FLAIR MR image.
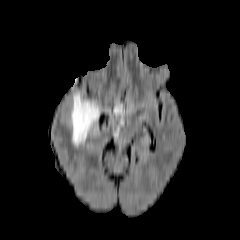
T1-weighted MR.
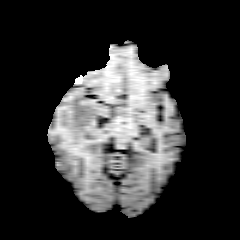
Post-contrast T1-weighted MRI.
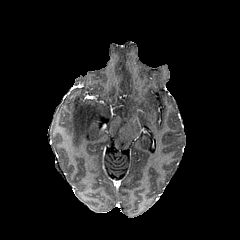
T2-weighted MRI.
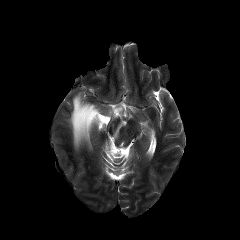
Axial view, Head, 240x240
peritumoral edema: (113, 107, 123, 137), (69, 93, 100, 147)